Image width 240 mm; Axial view
FLAIR magnetic resonance.
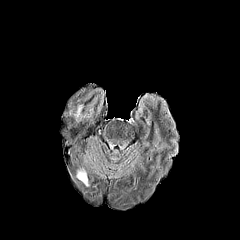
T1-weighted MRI.
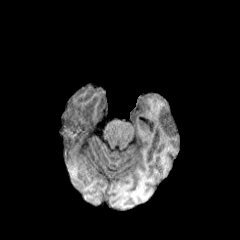
Post-contrast T1-weighted magnetic resonance.
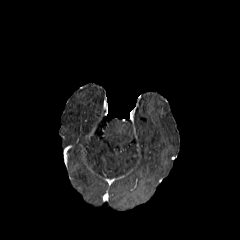
T2-weighted MR image.
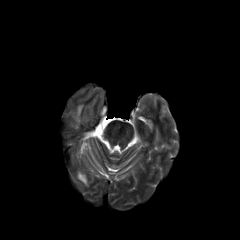
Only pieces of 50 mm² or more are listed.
peritumoral edema: bounding box (77,171,88,185)